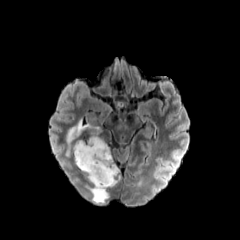
FLAIR MRI.
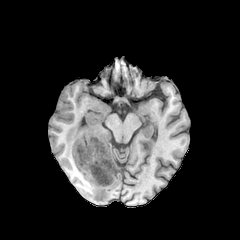
T1-weighted MRI of the same slice.
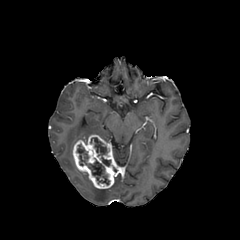
Post-contrast T1-weighted MRI of the same slice.
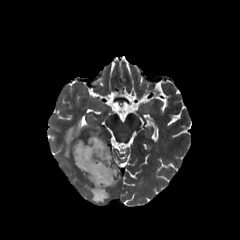
T2-weighted MR image.
Image size 240x240.
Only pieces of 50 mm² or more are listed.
The largest enhancing tumor region is located at [x1=72, y1=134, x2=120, y2=188]. The 2 largest peritumoral edema regions are located at [x1=66, y1=121, x2=100, y2=156], [x1=85, y1=185, x2=108, y2=202]. The 3 largest necrotic tumor core regions are bounded by [x1=101, y1=157, x2=110, y2=166], [x1=77, y1=144, x2=109, y2=185], [x1=90, y1=137, x2=107, y2=156].